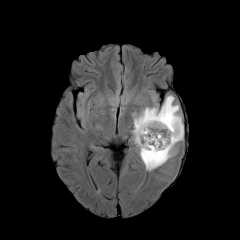
FLAIR MRI.
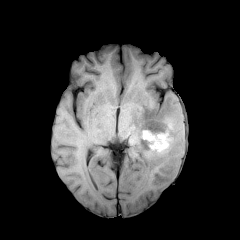
Same slice, T1-weighted MRI.
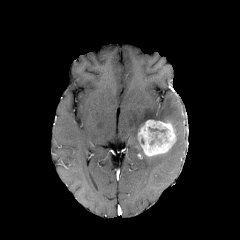
Same slice, post-contrast T1-weighted MRI.
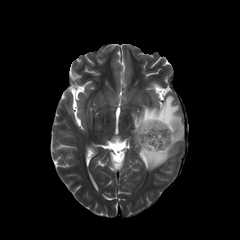
T2-weighted MR image.
Axial plane; Brain
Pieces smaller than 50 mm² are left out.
Findings:
* peritumoral edema: bbox(132, 95, 183, 171)
* enhancing tumor: bbox(138, 120, 175, 156)
* necrotic tumor core: bbox(149, 127, 167, 146)